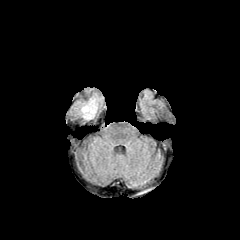
FLAIR MRI.
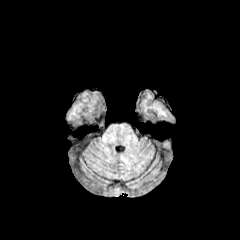
T1-weighted magnetic resonance.
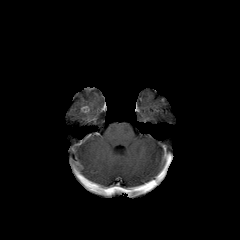
Post-contrast T1-weighted MR image.
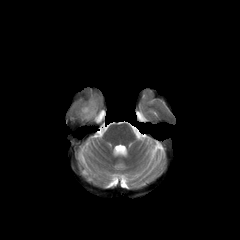
T2-weighted MR image.
Brain, Axial plane
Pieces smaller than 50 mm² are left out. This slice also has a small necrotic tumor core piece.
enhancing tumor at (x1=81, y1=106, x2=89, y2=113)
peritumoral edema at (x1=77, y1=94, x2=101, y2=119)